FLAIR MR image.
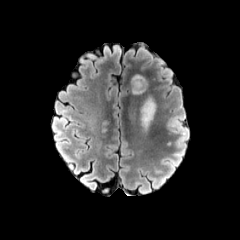
T1-weighted MR.
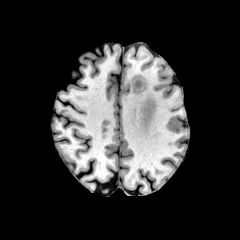
Post-contrast T1-weighted MR image.
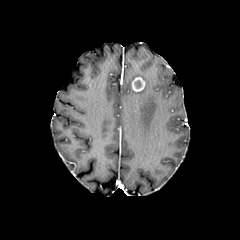
T2-weighted magnetic resonance.
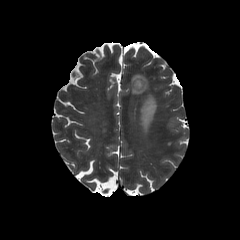
240x240
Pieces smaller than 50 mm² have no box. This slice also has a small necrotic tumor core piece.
Findings:
- peritumoral edema: bbox(140, 95, 156, 131); bbox(132, 75, 147, 94)
- enhancing tumor: bbox(131, 77, 145, 91)